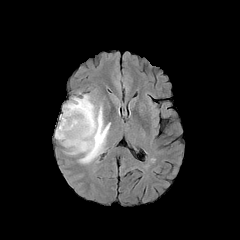
FLAIR magnetic resonance.
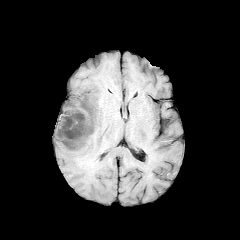
Same slice, T1-weighted MR.
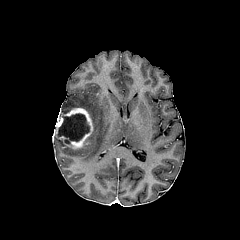
Same slice, post-contrast T1-weighted MRI.
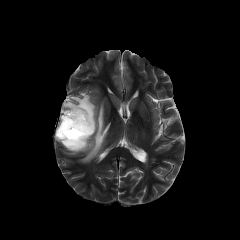
T2-weighted magnetic resonance.
peritumoral edema: bounding box 58, 94, 110, 163
enhancing tumor: bounding box 55, 108, 93, 149
necrotic tumor core: bounding box 56, 113, 89, 144